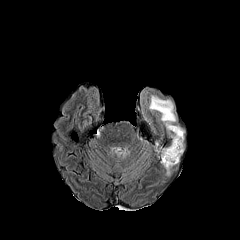
FLAIR MR image.
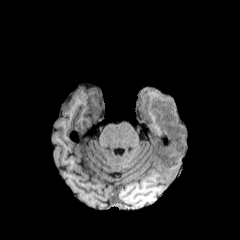
T1-weighted MR image.
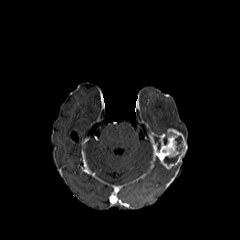
Post-contrast T1-weighted MR of the same slice.
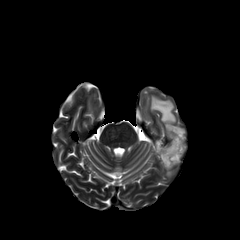
T2-weighted MRI of the same slice.
Head | Axial view | 240x240 px
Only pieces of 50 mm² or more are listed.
<segmentation>
  <enhancing_tumor>rect(157, 128, 186, 169)</enhancing_tumor>
  <necrotic_tumor_core>rect(164, 155, 178, 165)</necrotic_tumor_core>
  <peritumoral_edema>rect(149, 94, 185, 134)</peritumoral_edema>
</segmentation>